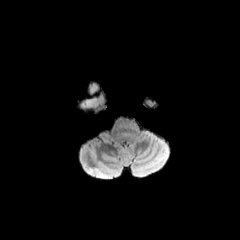
FLAIR MRI.
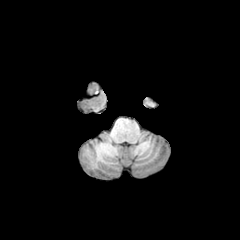
T1-weighted MR of the same slice.
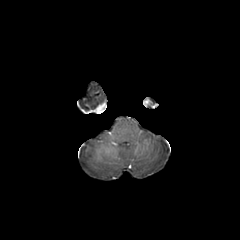
Same slice, post-contrast T1-weighted MRI.
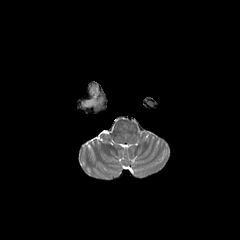
Same slice, T2-weighted MR image.
Image size 240x240.
peritumoral edema = (left=83, top=100, right=94, bottom=105)